Brain. Slice 121 of 155.
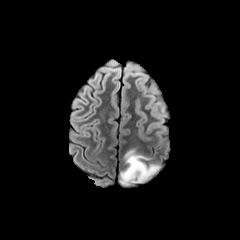
FLAIR MR.
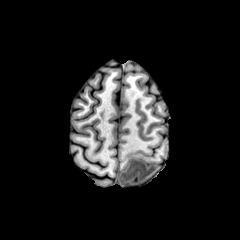
T1-weighted MR image.
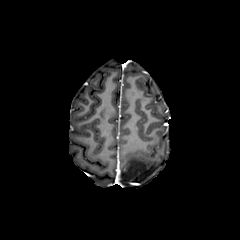
Same slice, post-contrast T1-weighted MR image.
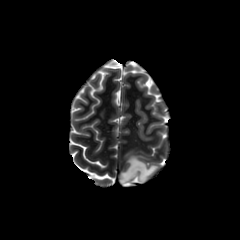
Same slice, T2-weighted MR.
The peritumoral edema is located at box=[121, 150, 159, 185].